FLAIR magnetic resonance.
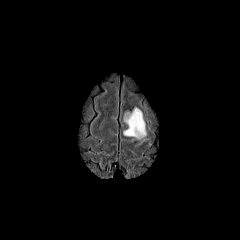
T1-weighted MRI.
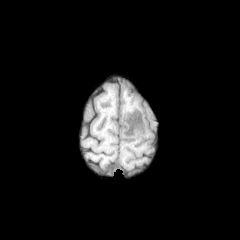
Post-contrast T1-weighted MRI.
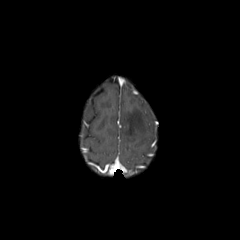
T2-weighted MRI.
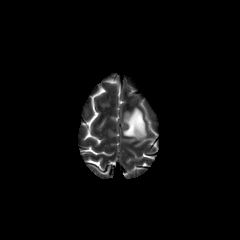
Head. Axial view. 240x240.
The peritumoral edema is located at l=123, t=108, r=146, b=139.